FLAIR MRI.
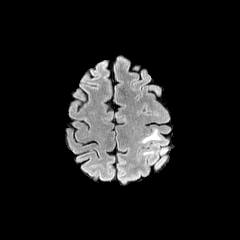
T1-weighted magnetic resonance.
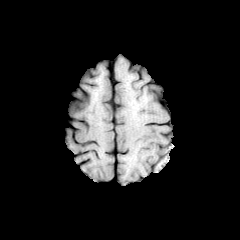
Post-contrast T1-weighted magnetic resonance.
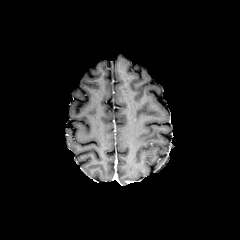
T2-weighted MR.
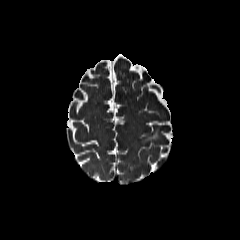
Axial plane, 240x240
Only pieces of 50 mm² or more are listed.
peritumoral edema at l=142, t=130, r=159, b=142